FLAIR magnetic resonance.
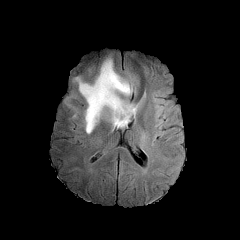
T1-weighted MR.
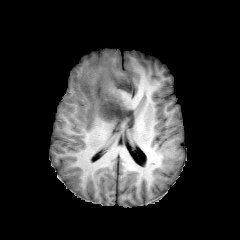
Post-contrast T1-weighted MR.
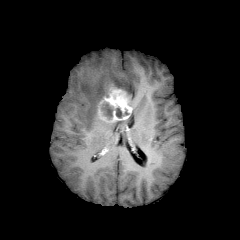
T2-weighted MR image.
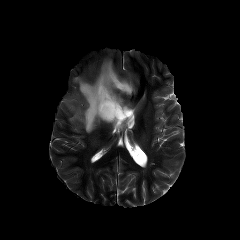
Brain
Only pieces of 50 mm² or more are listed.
enhancing tumor — 97,87,132,122
necrotic tumor core — 116,108,123,117; 102,103,112,118
peritumoral edema — 74,58,132,133; 110,101,138,128